FLAIR magnetic resonance.
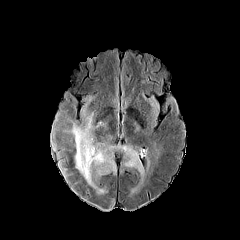
T1-weighted MR.
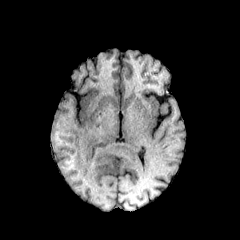
Post-contrast T1-weighted MR image.
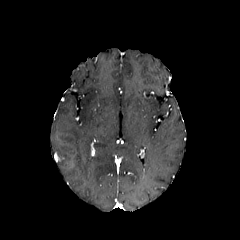
T2-weighted MRI.
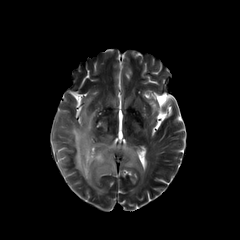
Brain; Image size 240x240; Axial view
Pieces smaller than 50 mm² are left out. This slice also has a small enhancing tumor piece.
The 2 largest peritumoral edema regions are located at 56, 110, 141, 193; 59, 149, 74, 156.